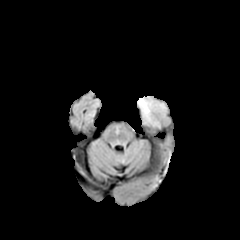
FLAIR magnetic resonance.
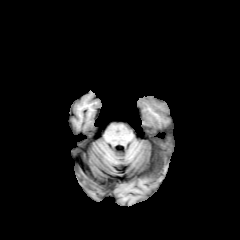
Same slice, T1-weighted magnetic resonance.
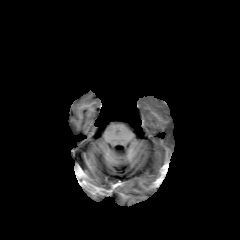
Post-contrast T1-weighted MR image of the same slice.
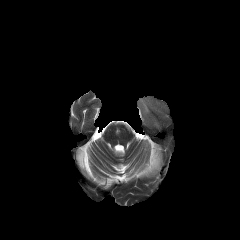
T2-weighted MR image.
Brain
peritumoral_edema:
  - rect(137, 96, 165, 122)